FLAIR MRI.
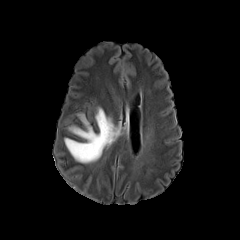
T1-weighted magnetic resonance.
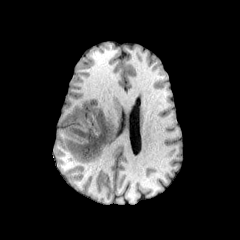
Post-contrast T1-weighted MR.
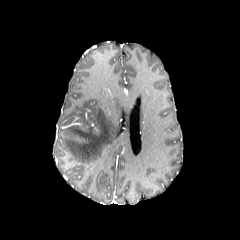
T2-weighted MRI.
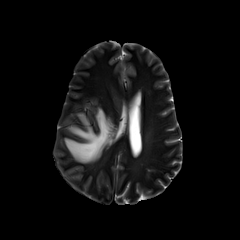
Brain. Axial view.
<segmentation>
  <peritumoral_edema>bbox=[64, 108, 119, 163]</peritumoral_edema>
</segmentation>